FLAIR magnetic resonance.
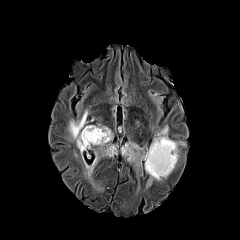
T1-weighted MR.
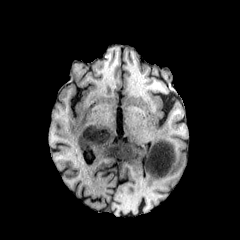
Post-contrast T1-weighted MR image.
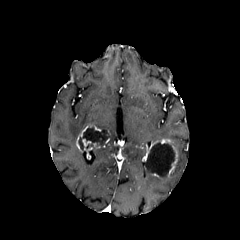
T2-weighted MR.
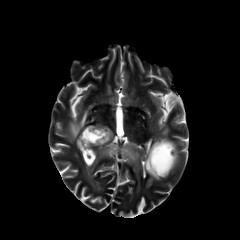
Head | Axial plane | Image size 240x240
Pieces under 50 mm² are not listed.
necrotic tumor core: l=78, t=126, r=109, b=150; l=145, t=142, r=175, b=177
peritumoral edema: l=97, t=124, r=113, b=139; l=68, t=110, r=88, b=140; l=82, t=142, r=117, b=189; l=154, t=126, r=168, b=141; l=120, t=141, r=141, b=169; l=146, t=170, r=161, b=187
enhancing tumor: l=82, t=139, r=91, b=150; l=76, t=125, r=101, b=151; l=143, t=139, r=177, b=175